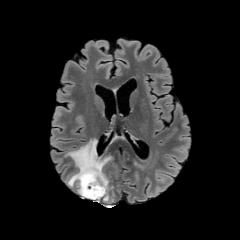
FLAIR MRI.
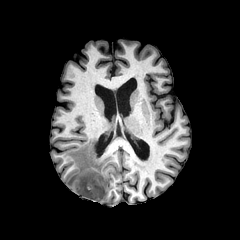
T1-weighted MRI.
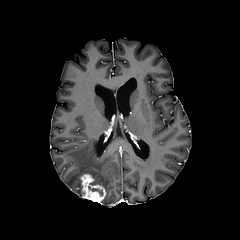
Post-contrast T1-weighted MRI.
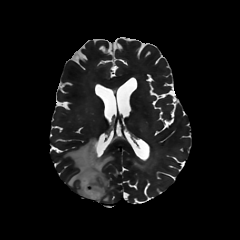
T2-weighted MRI.
Brain.
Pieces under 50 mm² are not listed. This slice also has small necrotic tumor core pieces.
<segmentation>
  <enhancing_tumor>[80,173,106,202]</enhancing_tumor>
  <peritumoral_edema>[65,138,112,202]</peritumoral_edema>
</segmentation>